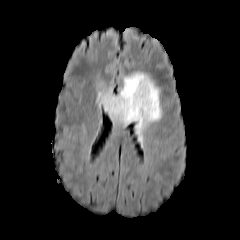
FLAIR magnetic resonance.
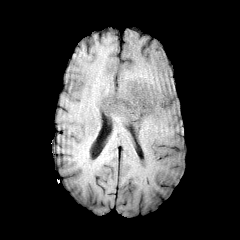
T1-weighted MR.
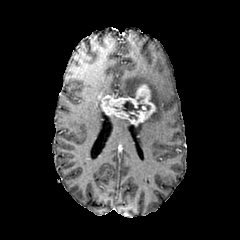
Post-contrast T1-weighted MR image.
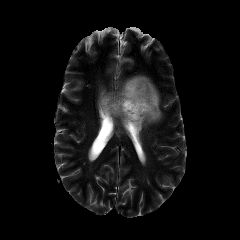
T2-weighted magnetic resonance of the same slice.
240x240; Axial view; Head
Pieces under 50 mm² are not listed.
The largest necrotic tumor core region appears at box=[122, 101, 144, 119]. The enhancing tumor is located at box=[99, 84, 155, 125]. 3 peritumoral edema regions are bounded by box=[97, 90, 113, 106]; box=[115, 73, 161, 142]; box=[111, 116, 129, 124].